Head. Slice 101/155.
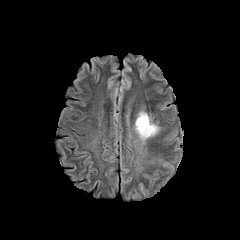
FLAIR MRI.
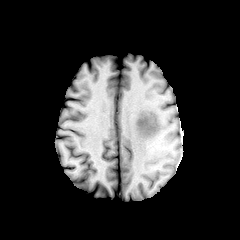
Same slice, T1-weighted MR image.
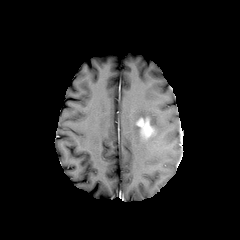
Post-contrast T1-weighted MR image of the same slice.
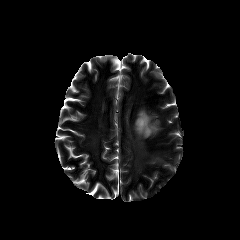
T2-weighted MRI of the same slice.
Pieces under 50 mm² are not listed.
The largest peritumoral edema region lies within <bbox>135, 111, 149, 139</bbox>. The enhancing tumor is bounded by <bbox>136, 118, 154, 137</bbox>.